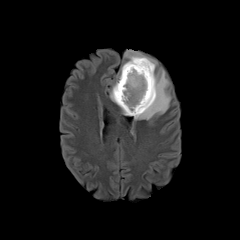
FLAIR MR image.
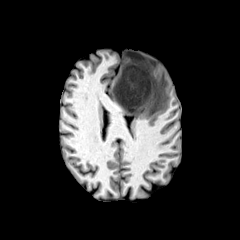
T1-weighted MR image.
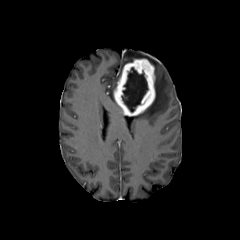
Post-contrast T1-weighted magnetic resonance.
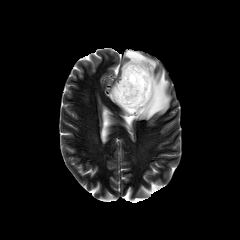
T2-weighted MR.
Axial plane | Brain
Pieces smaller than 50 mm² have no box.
The enhancing tumor appears at [113,58,155,115]. The necrotic tumor core lies within [121,67,148,112]. The 3 largest peritumoral edema regions are bounded by [134,68,171,119], [110,82,116,102], [124,50,157,68].